240x240 px, Axial view, Slice index 82, Head
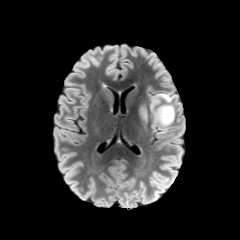
FLAIR MR image.
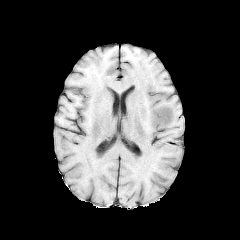
Same slice, T1-weighted magnetic resonance.
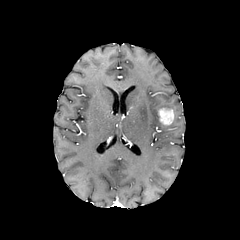
Post-contrast T1-weighted MRI.
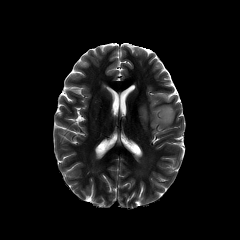
Same slice, T2-weighted MR.
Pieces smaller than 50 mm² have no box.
enhancing_tumor:
  - 158 108 174 125
peritumoral_edema:
  - 150 94 176 132
  - 140 107 147 121